FLAIR MR.
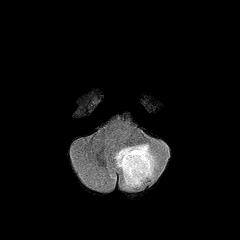
T1-weighted MR.
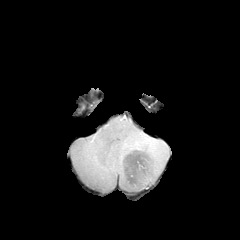
Post-contrast T1-weighted magnetic resonance.
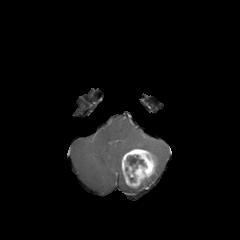
T2-weighted MR image.
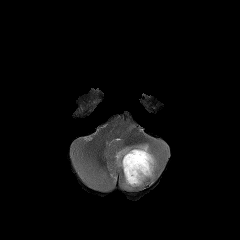
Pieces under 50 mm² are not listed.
Annotated regions:
- peritumoral edema: bbox(113, 143, 162, 190); bbox(109, 170, 116, 182)
- necrotic tumor core: bbox(127, 155, 144, 167)
- enhancing tumor: bbox(121, 149, 156, 187)